FLAIR MR.
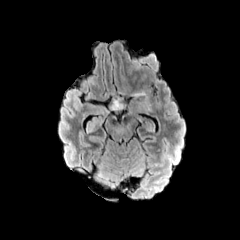
T1-weighted magnetic resonance.
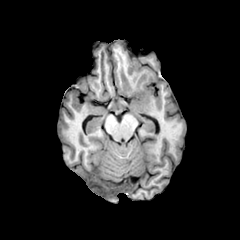
Post-contrast T1-weighted magnetic resonance.
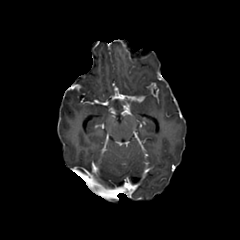
T2-weighted MR.
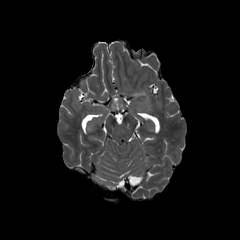
240x240; Axial view; Head
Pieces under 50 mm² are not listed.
Segmented structures:
• enhancing tumor: bbox=[147, 83, 158, 102]; bbox=[113, 90, 145, 101]
• peritumoral edema: bbox=[134, 90, 151, 110]; bbox=[112, 98, 123, 109]